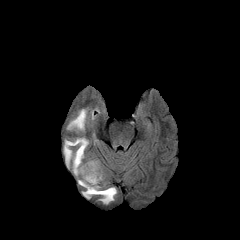
FLAIR magnetic resonance.
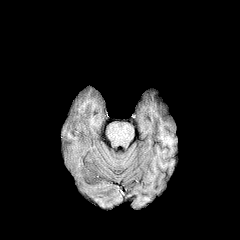
T1-weighted MR image.
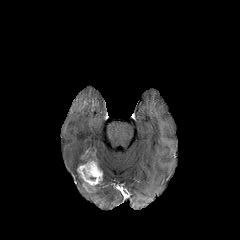
Same slice, post-contrast T1-weighted magnetic resonance.
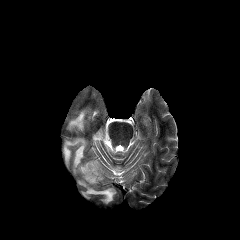
T2-weighted MR image of the same slice.
Axial slice; Brain
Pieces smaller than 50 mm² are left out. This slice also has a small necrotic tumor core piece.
{
  "peritumoral_edema": [
    "x1=67 y1=108 x2=94 y2=133",
    "x1=93 y1=134 x2=99 y2=145",
    "x1=64 y1=137 x2=88 y2=176",
    "x1=82 y1=184 x2=116 y2=204"
  ],
  "enhancing_tumor": [
    "x1=77 y1=159 x2=102 y2=192"
  ]
}